240x240
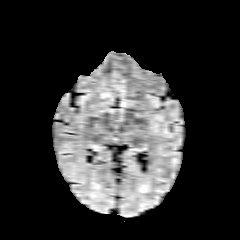
FLAIR magnetic resonance.
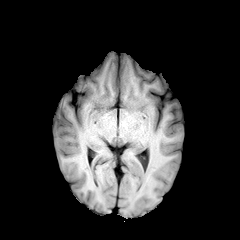
T1-weighted magnetic resonance.
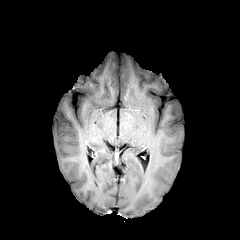
Post-contrast T1-weighted MRI.
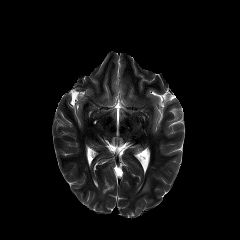
Same slice, T2-weighted magnetic resonance.
peritumoral_edema:
  - left=140, top=184, right=149, bottom=192